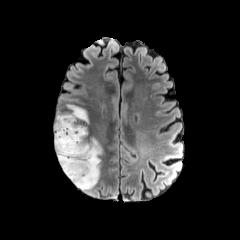
FLAIR MR image.
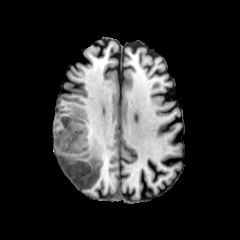
T1-weighted magnetic resonance.
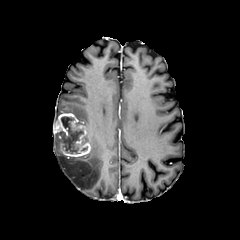
Post-contrast T1-weighted MR.
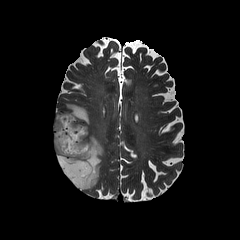
T2-weighted MR image of the same slice.
Axial slice. 240x240.
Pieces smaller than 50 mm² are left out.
enhancing tumor: <box>53,113,91,157</box> | peritumoral edema: <box>54,103,102,190</box> | necrotic tumor core: <box>56,115,83,153</box>